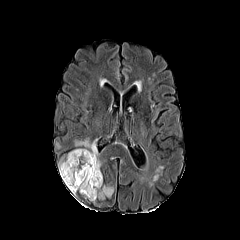
FLAIR MR.
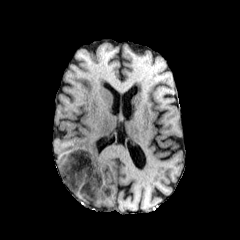
T1-weighted MR image of the same slice.
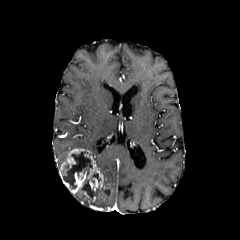
Post-contrast T1-weighted MR of the same slice.
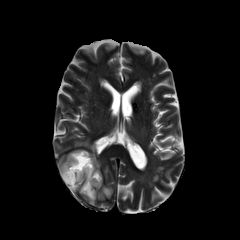
Same slice, T2-weighted magnetic resonance.
Head.
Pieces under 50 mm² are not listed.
The 2 largest peritumoral edema regions are bounded by 75,140,101,168; 95,186,113,199. The 2 largest necrotic tumor core regions are bounded by 63,151,92,189; 81,179,95,198. The enhancing tumor is located at 59,148,109,201.